Slice index 88, Image size 240x240
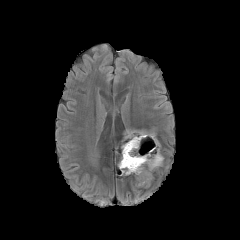
FLAIR MR image.
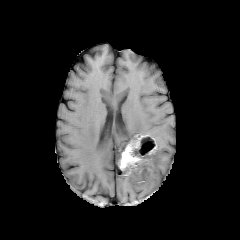
T1-weighted MR image of the same slice.
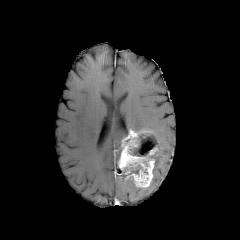
Post-contrast T1-weighted magnetic resonance of the same slice.
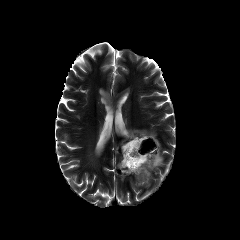
Same slice, T2-weighted magnetic resonance.
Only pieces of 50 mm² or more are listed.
enhancing_tumor:
  - box(118, 129, 157, 187)
necrotic_tumor_core:
  - box(130, 165, 141, 173)
  - box(129, 133, 156, 156)
peritumoral_edema:
  - box(153, 149, 163, 170)